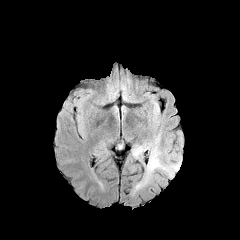
FLAIR MRI.
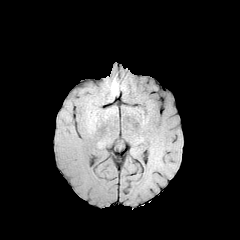
Same slice, T1-weighted MR image.
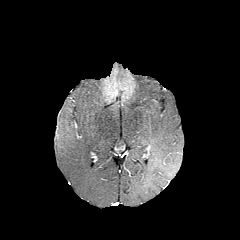
Post-contrast T1-weighted MR image of the same slice.
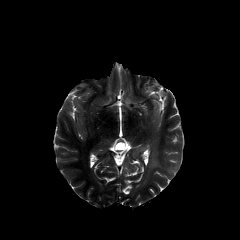
T2-weighted MR image of the same slice.
Axial view, 240x240, Head
peritumoral edema: region(132, 91, 183, 188)